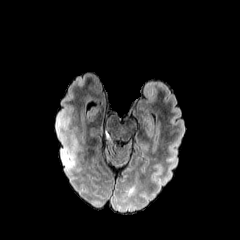
FLAIR MR.
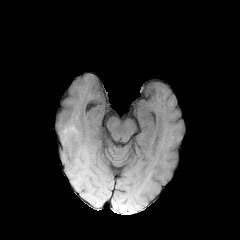
T1-weighted MR image of the same slice.
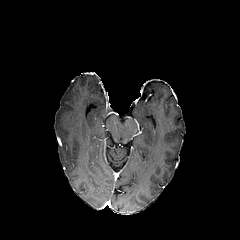
Post-contrast T1-weighted MR image of the same slice.
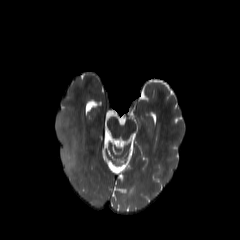
T2-weighted MR image.
Axial plane
<segmentation>
  <peritumoral_edema>l=57, t=117, r=77, b=179</peritumoral_edema>
</segmentation>